Axial view; Head; Image width 240 mm, 1.00 mm slice spacing
FLAIR MR.
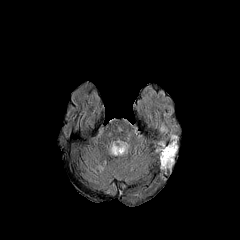
T1-weighted MR image.
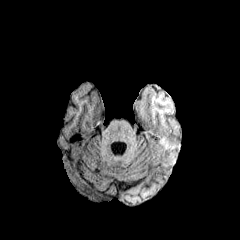
Post-contrast T1-weighted MR.
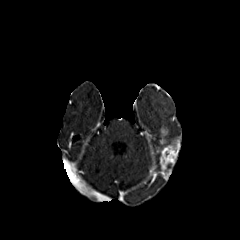
T2-weighted MR.
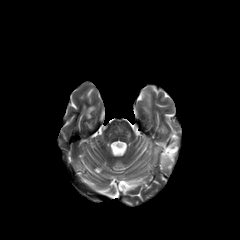
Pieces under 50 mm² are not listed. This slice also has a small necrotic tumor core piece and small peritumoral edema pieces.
enhancing tumor at box(156, 137, 179, 177); box(160, 127, 167, 144)